240x240 px, Axial plane
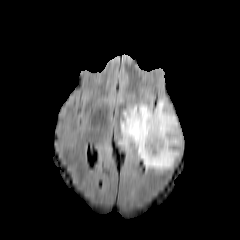
FLAIR MRI.
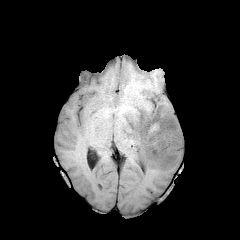
T1-weighted MRI of the same slice.
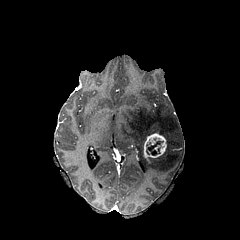
Same slice, post-contrast T1-weighted MR.
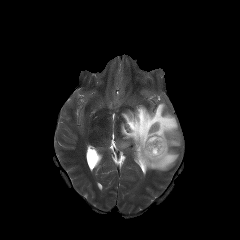
T2-weighted magnetic resonance.
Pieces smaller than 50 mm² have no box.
peritumoral edema — l=119, t=99, r=181, b=171
necrotic tumor core — l=146, t=140, r=163, b=155
enhancing tumor — l=143, t=133, r=167, b=162